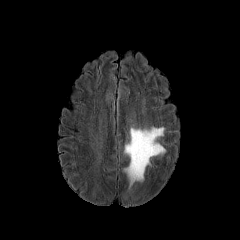
FLAIR MR.
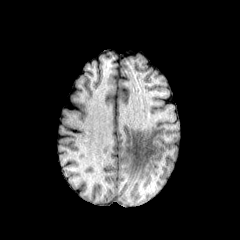
T1-weighted MR.
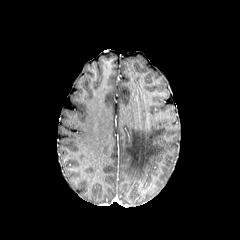
Post-contrast T1-weighted magnetic resonance.
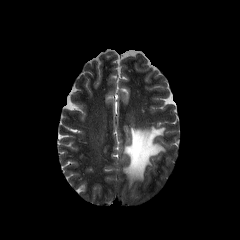
Same slice, T2-weighted MR.
Axial slice
peritumoral edema: bbox=[123, 126, 165, 185]